FLAIR MR.
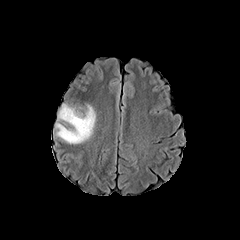
T1-weighted MR.
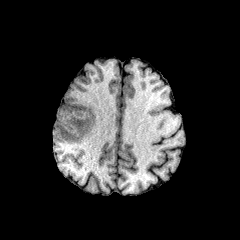
Post-contrast T1-weighted magnetic resonance.
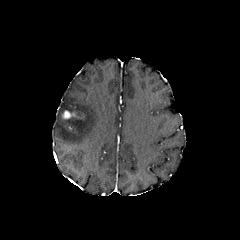
T2-weighted MR.
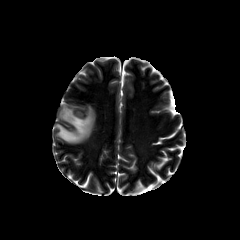
enhancing tumor — [62,110,78,119]
peritumoral edema — [55,104,95,143]